FLAIR magnetic resonance.
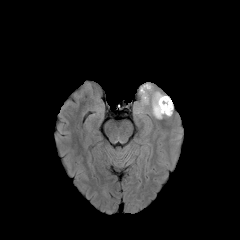
T1-weighted MRI.
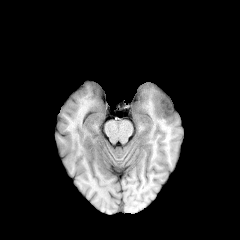
Post-contrast T1-weighted MR image.
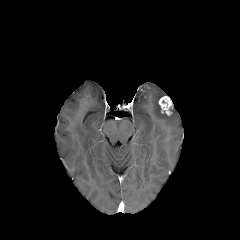
T2-weighted MR.
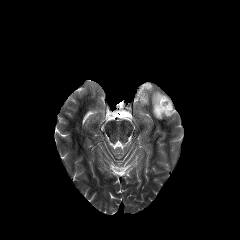
Brain, 240x240 px
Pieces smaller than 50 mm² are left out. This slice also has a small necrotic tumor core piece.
peritumoral edema at rect(134, 82, 172, 120)
enhancing tumor at rect(158, 96, 173, 115)